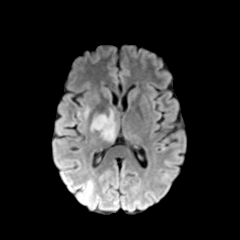
FLAIR MR.
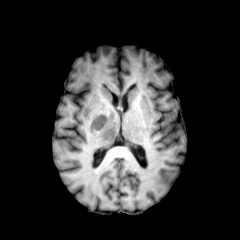
T1-weighted magnetic resonance.
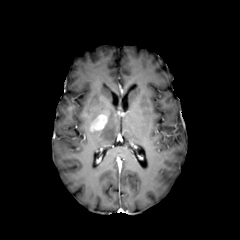
Post-contrast T1-weighted MRI of the same slice.
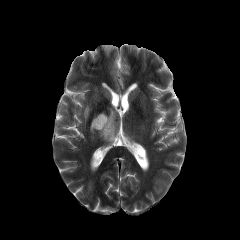
T2-weighted MRI.
Head; Image size 240x240; Axial plane
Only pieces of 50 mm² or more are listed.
The enhancing tumor lies within <bbox>90, 114, 107, 130</bbox>. The largest peritumoral edema region is bounded by <bbox>100, 111, 115, 141</bbox>.